FLAIR MR.
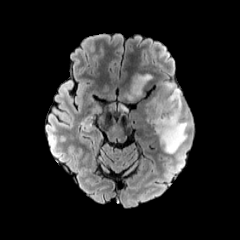
T1-weighted MRI.
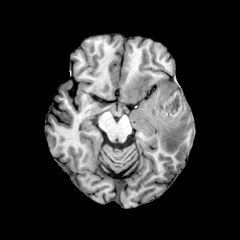
Post-contrast T1-weighted MR.
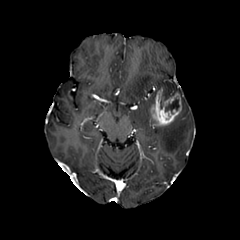
T2-weighted MR.
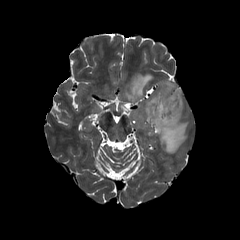
Axial slice; 240x240 px
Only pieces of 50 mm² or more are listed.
The enhancing tumor is at {"x1": 149, "y1": 88, "x2": 181, "y2": 126}. The 4 largest peritumoral edema regions appear at {"x1": 154, "y1": 100, "x2": 191, "y2": 153}, {"x1": 162, "y1": 82, "x2": 180, "y2": 97}, {"x1": 126, "y1": 74, "x2": 152, "y2": 100}, {"x1": 147, "y1": 97, "x2": 154, "y2": 125}. The largest necrotic tumor core region is located at {"x1": 165, "y1": 99, "x2": 179, "y2": 111}.